240x240 px. Brain. Image width 240 mm.
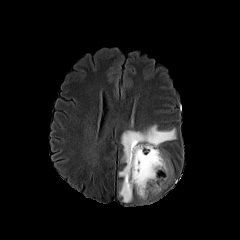
FLAIR magnetic resonance.
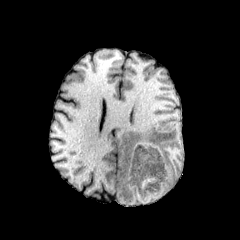
Same slice, T1-weighted MRI.
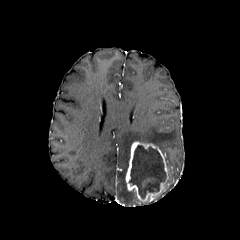
Post-contrast T1-weighted MRI.
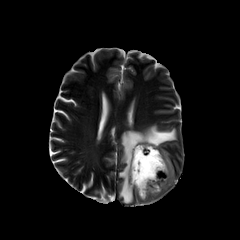
Same slice, T2-weighted MRI.
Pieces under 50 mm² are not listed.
* peritumoral edema: {"x1": 119, "y1": 125, "x2": 176, "y2": 202}
* necrotic tumor core: {"x1": 129, "y1": 145, "x2": 166, "y2": 198}
* enhancing tumor: {"x1": 125, "y1": 141, "x2": 173, "y2": 202}